Brain; Image width 240 mm; Image size 240x240; Slice 64 of 155; Axial plane
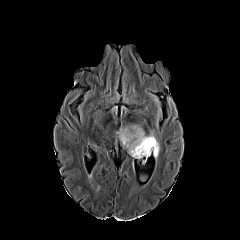
FLAIR MRI.
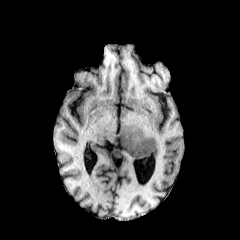
T1-weighted MR image.
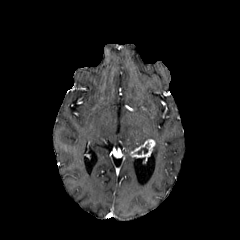
Same slice, post-contrast T1-weighted MR.
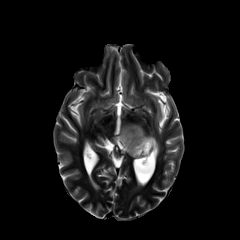
Same slice, T2-weighted MR image.
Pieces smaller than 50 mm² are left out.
{
  "peritumoral_edema": [
    "bbox(119, 125, 159, 157)"
  ],
  "necrotic_tumor_core": [
    "bbox(136, 147, 148, 154)"
  ],
  "enhancing_tumor": [
    "bbox(129, 139, 155, 157)"
  ]
}